FLAIR MR image.
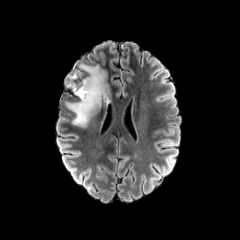
T1-weighted MRI.
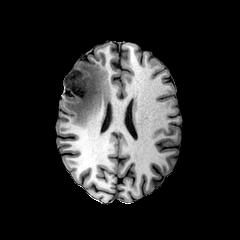
Post-contrast T1-weighted MRI.
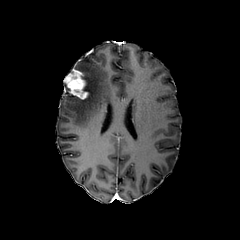
T2-weighted MR image.
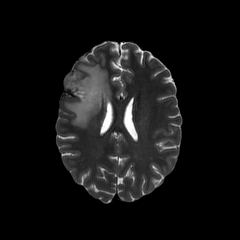
Head
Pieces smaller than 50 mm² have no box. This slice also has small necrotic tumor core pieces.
* enhancing tumor: 64 68 88 99
* peritumoral edema: 66 64 108 126